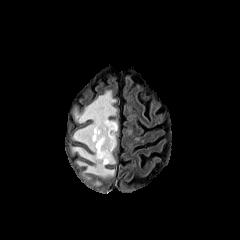
FLAIR MR image.
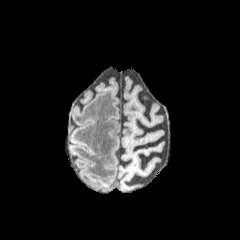
Same slice, T1-weighted MR.
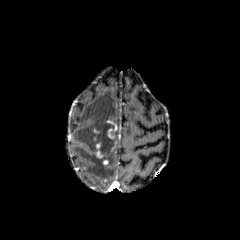
Post-contrast T1-weighted MR of the same slice.
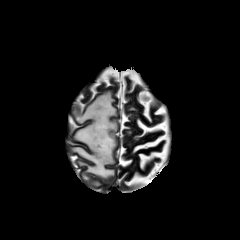
T2-weighted MRI of the same slice.
Head; Axial view
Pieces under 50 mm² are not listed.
{
  "enhancing_tumor": [
    "[96,141,105,158]",
    "[106,120,117,139]"
  ],
  "peritumoral_edema": [
    "[71,90,116,178]"
  ],
  "necrotic_tumor_core": [
    "[97,123,113,140]"
  ]
}